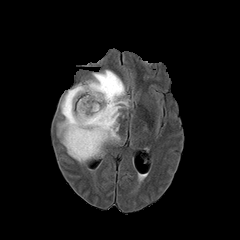
FLAIR MR image.
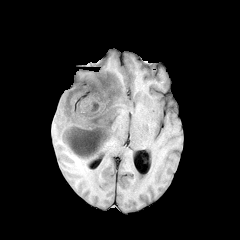
Same slice, T1-weighted magnetic resonance.
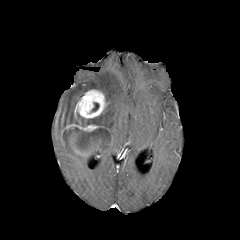
Post-contrast T1-weighted MR.
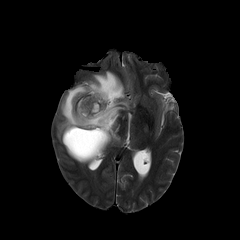
T2-weighted magnetic resonance.
Axial slice. Head.
necrotic tumor core — 78,126,107,148; 64,127,79,143; 91,102,99,111
enhancing tumor — 67,130,103,159; 74,89,108,118; 66,121,99,131
peritumoral edema — 57,70,129,163